FLAIR MRI.
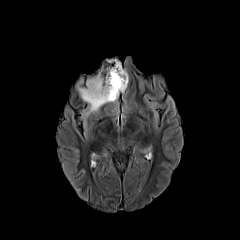
T1-weighted MRI.
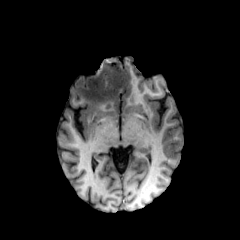
Post-contrast T1-weighted MR image.
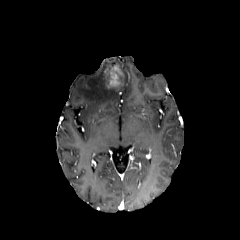
T2-weighted magnetic resonance.
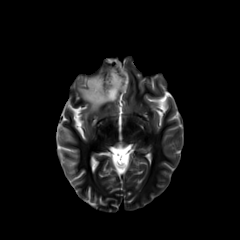
Image size 240x240, Head
enhancing tumor: region(105, 64, 123, 89)
peritumoral edema: region(77, 59, 128, 112)